FLAIR MR image.
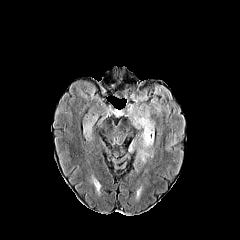
T1-weighted MRI.
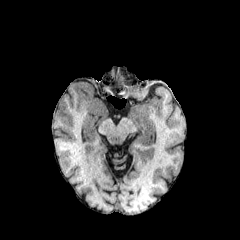
Post-contrast T1-weighted MRI.
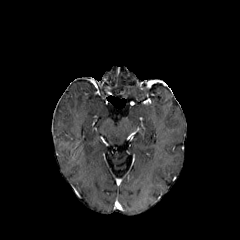
T2-weighted MRI.
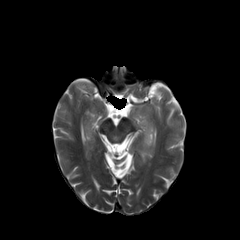
Head
3 peritumoral edema regions are bounded by x1=140 y1=150 x2=150 y2=162, x1=83 y1=115 x2=97 y2=140, x1=132 y1=110 x2=154 y2=147.